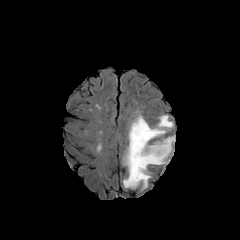
FLAIR MR image.
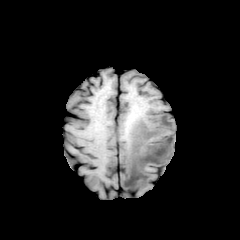
T1-weighted magnetic resonance.
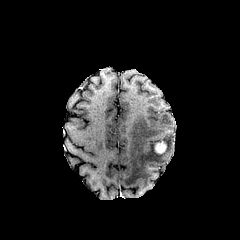
Post-contrast T1-weighted MRI.
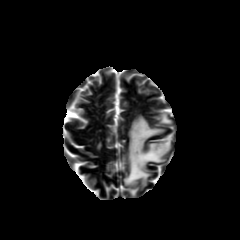
Same slice, T2-weighted magnetic resonance.
Head
peritumoral_edema:
  - 123:115:175:188
enhancing_tumor:
  - 154:141:166:154